Slice 94/155
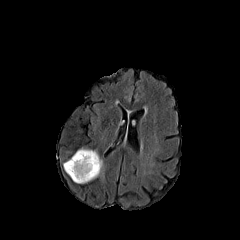
FLAIR MRI.
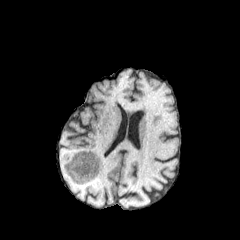
T1-weighted MR image.
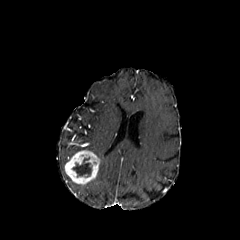
Post-contrast T1-weighted magnetic resonance of the same slice.
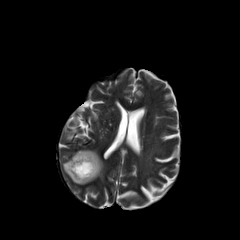
T2-weighted MR.
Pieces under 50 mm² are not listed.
The largest peritumoral edema region is located at 97,158,103,176. The necrotic tumor core is bounded by 73,157,91,176. The enhancing tumor lies within 64,150,100,184.